FLAIR magnetic resonance.
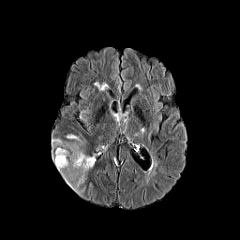
T1-weighted MR image.
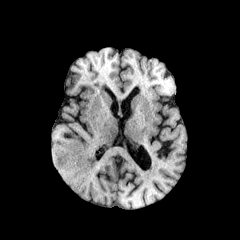
Post-contrast T1-weighted MRI.
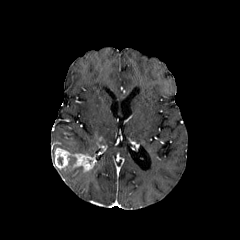
T2-weighted MR.
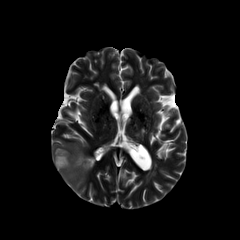
Head. 240x240.
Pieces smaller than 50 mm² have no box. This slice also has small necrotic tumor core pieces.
enhancing_tumor:
  - box=[54, 148, 96, 172]
peritumoral_edema:
  - box=[58, 167, 86, 193]
  - box=[52, 135, 84, 153]